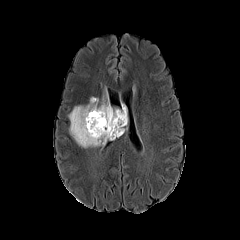
FLAIR MRI.
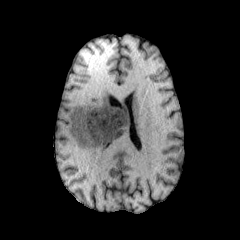
T1-weighted MR image.
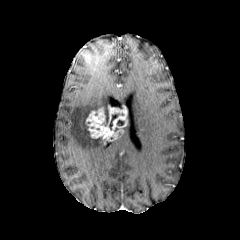
Post-contrast T1-weighted MR image of the same slice.
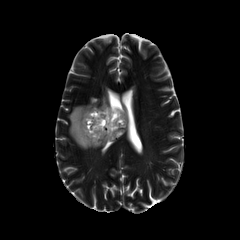
Same slice, T2-weighted MR.
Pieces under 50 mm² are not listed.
The 2 largest necrotic tumor core regions are bounded by [104,108,108,126], [109,113,119,129]. The largest peritumoral edema region appears at [68,93,109,148]. The largest enhancing tumor region is at [86,105,127,142].